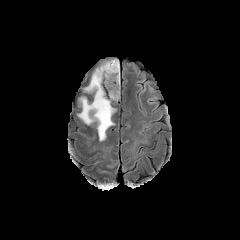
FLAIR MR image.
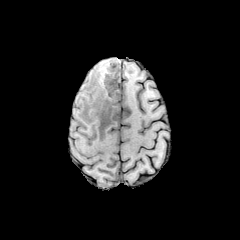
T1-weighted magnetic resonance of the same slice.
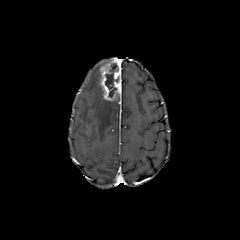
Post-contrast T1-weighted MR image.
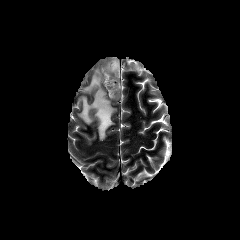
Same slice, T2-weighted MR.
Image size 240x240, Head, Axial plane
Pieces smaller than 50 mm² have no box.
necrotic_tumor_core:
  - 105,67,117,89
peritumoral_edema:
  - 78,66,115,141
enhancing_tumor:
  - 100,58,121,100